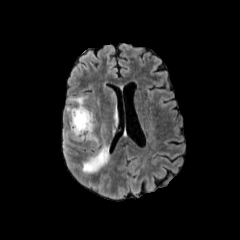
FLAIR magnetic resonance.
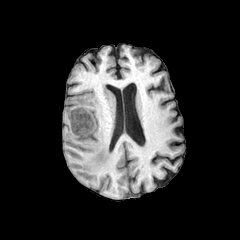
T1-weighted MR image.
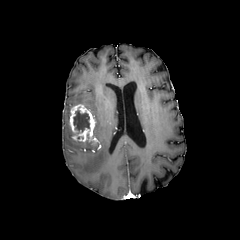
Post-contrast T1-weighted MRI of the same slice.
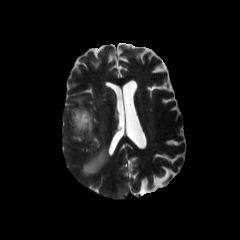
T2-weighted MR.
Head.
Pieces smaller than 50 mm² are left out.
necrotic tumor core: bbox=[73, 110, 89, 131] | peritumoral edema: bbox=[80, 104, 119, 176]; bbox=[68, 96, 86, 105]; bbox=[63, 129, 73, 151]; bbox=[65, 106, 73, 120]; bbox=[91, 111, 98, 135]; bbox=[103, 83, 117, 101] | enhancing tumor: bbox=[69, 104, 98, 147]